FLAIR MR.
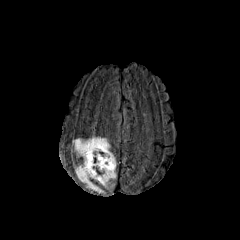
T1-weighted MR image.
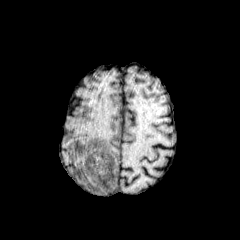
Post-contrast T1-weighted MR image.
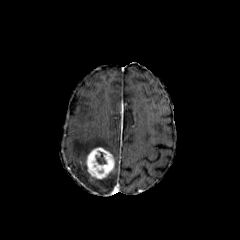
T2-weighted MRI.
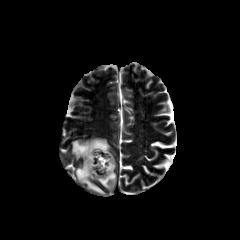
Axial view; Head
enhancing tumor at box(85, 147, 114, 179)
necrotic tumor core at box(96, 152, 106, 164)
peritumoral edema at box(72, 137, 116, 193)